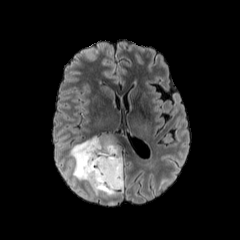
FLAIR MR.
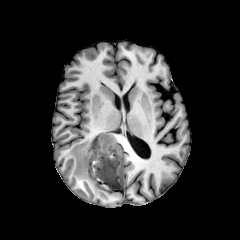
T1-weighted MRI.
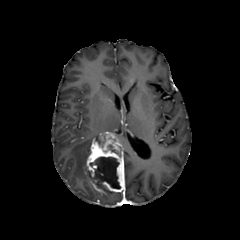
Post-contrast T1-weighted MR of the same slice.
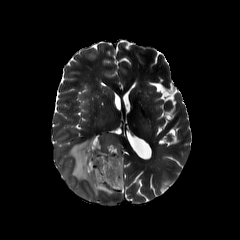
T2-weighted MRI.
Brain | Axial slice | 240x240 px
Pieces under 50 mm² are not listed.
enhancing tumor = (85,132,124,194)
peritumoral edema = (68,137,100,196), (103,192,121,197)
necrotic tumor core = (90,157,120,191)